FLAIR MR.
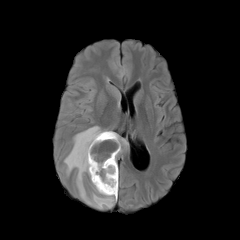
T1-weighted MRI.
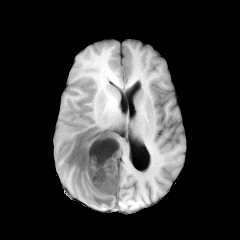
Post-contrast T1-weighted MRI.
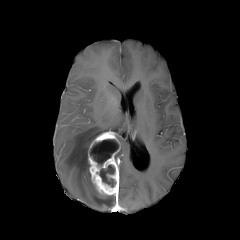
T2-weighted MRI.
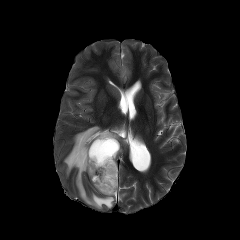
Axial slice. Brain.
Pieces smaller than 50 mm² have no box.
Annotated regions:
* necrotic tumor core: [99, 165, 115, 187], [90, 139, 118, 165]
* enhancing tumor: [88, 131, 120, 196]
* peritumoral edema: [64, 126, 116, 208], [115, 134, 128, 161]